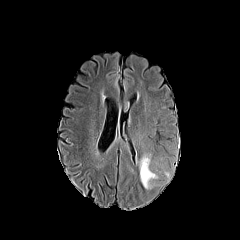
FLAIR MR image.
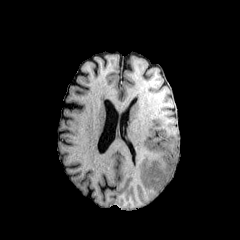
T1-weighted MRI.
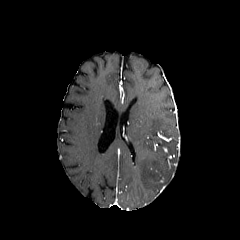
Post-contrast T1-weighted MR.
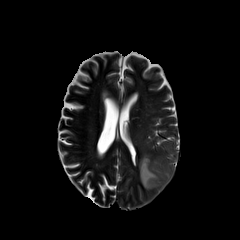
T2-weighted magnetic resonance.
Axial slice
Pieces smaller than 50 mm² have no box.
peritumoral_edema:
  - region(139, 155, 157, 189)